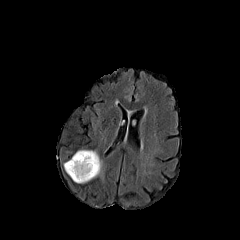
FLAIR MR image.
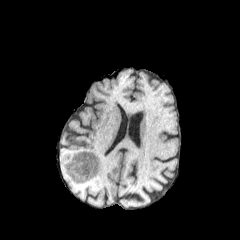
T1-weighted MRI.
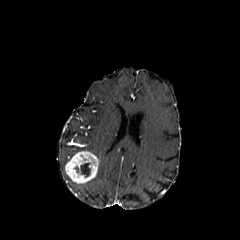
Post-contrast T1-weighted MRI of the same slice.
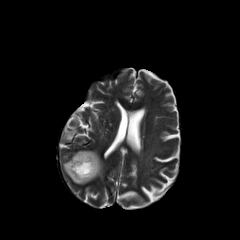
T2-weighted MR.
Head, Axial plane
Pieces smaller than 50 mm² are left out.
peritumoral_edema:
  - left=78, top=150, right=102, bottom=176
necrotic_tumor_core:
  - left=80, top=163, right=90, bottom=177
enhancing_tumor:
  - left=65, top=151, right=99, bottom=183